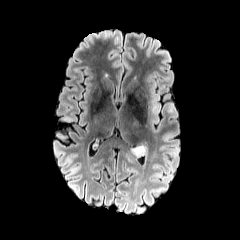
FLAIR MR image.
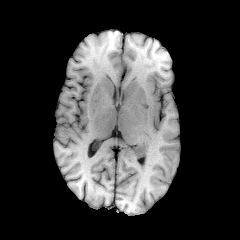
T1-weighted MR.
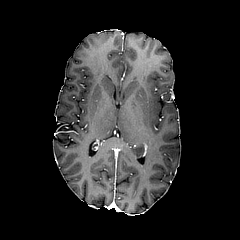
Post-contrast T1-weighted MR image.
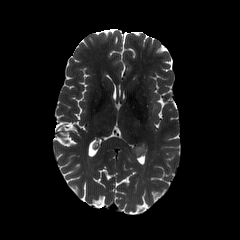
Same slice, T2-weighted MR.
240x240
peritumoral edema: (131,145,143,156)